Axial plane. Slice index 35.
FLAIR MR.
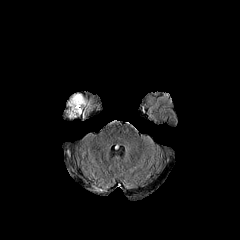
T1-weighted magnetic resonance.
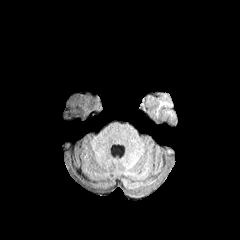
Post-contrast T1-weighted magnetic resonance.
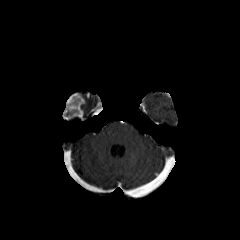
T2-weighted MRI.
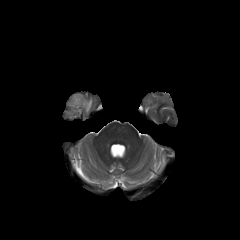
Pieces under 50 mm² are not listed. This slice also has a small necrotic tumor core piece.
Segmented structures:
• peritumoral edema: x1=85, y1=100, x2=91, y2=111
• enhancing tumor: x1=63, y1=93, x2=85, y2=119